Head, Axial slice, 240x240
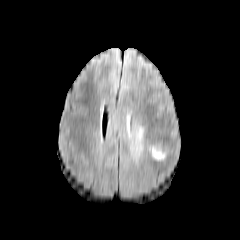
FLAIR magnetic resonance.
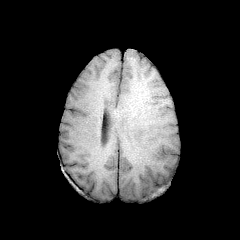
T1-weighted MR of the same slice.
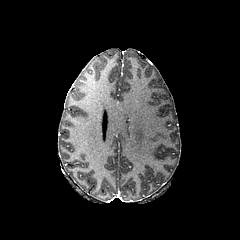
Post-contrast T1-weighted MRI of the same slice.
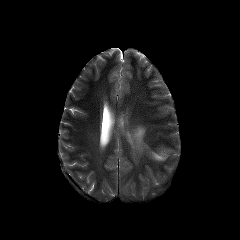
T2-weighted magnetic resonance.
2 peritumoral edema regions are located at (left=151, top=149, right=165, bottom=160), (left=128, top=127, right=143, bottom=151).